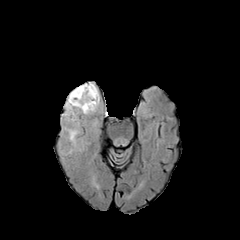
FLAIR MR image.
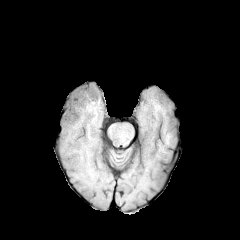
T1-weighted MR image of the same slice.
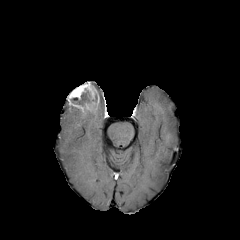
Post-contrast T1-weighted magnetic resonance of the same slice.
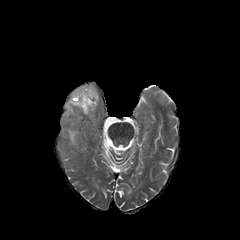
T2-weighted magnetic resonance of the same slice.
Axial view, Head, Image size 240x240
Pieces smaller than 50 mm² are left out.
The enhancing tumor lies within [67, 82, 99, 113]. The largest necrotic tumor core region lies within [71, 91, 90, 105]. The 2 largest peritumoral edema regions appear at [64, 101, 80, 117], [68, 129, 77, 144].